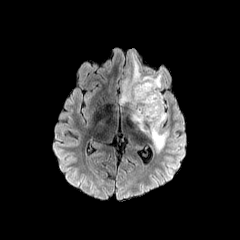
FLAIR MR image.
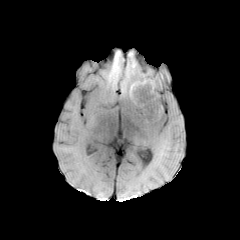
Same slice, T1-weighted MRI.
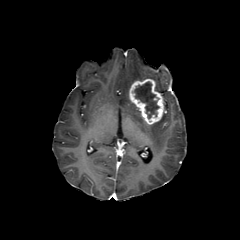
Post-contrast T1-weighted MR.
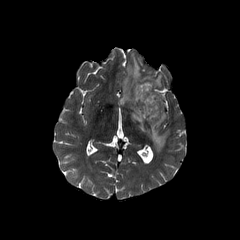
T2-weighted MRI.
Head. Axial plane.
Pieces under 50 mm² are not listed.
enhancing tumor at box(128, 79, 165, 124)
peritumoral edema at box(119, 53, 168, 152)
necrotic tumor core at box(134, 81, 158, 118)